Slice 75/155 | Head
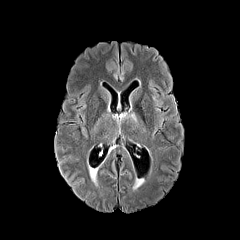
FLAIR MR image.
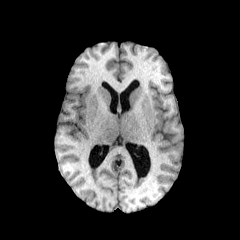
T1-weighted MR.
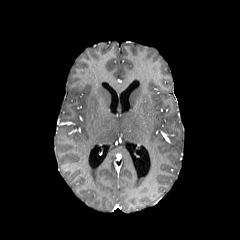
Same slice, post-contrast T1-weighted MR image.
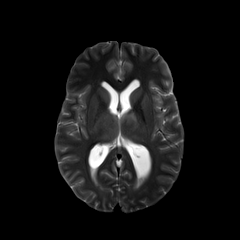
Same slice, T2-weighted MR image.
<segmentation>
  <peritumoral_edema>(112,113,136,132)</peritumoral_edema>
</segmentation>